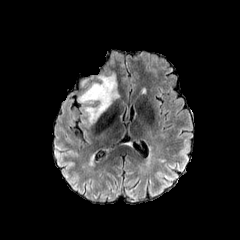
FLAIR MR image.
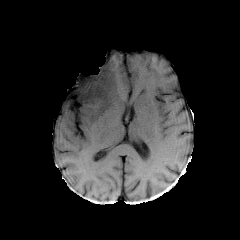
T1-weighted MR image.
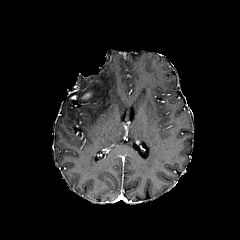
Post-contrast T1-weighted MRI.
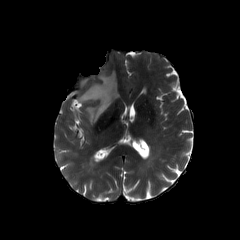
T2-weighted magnetic resonance.
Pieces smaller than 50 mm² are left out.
The enhancing tumor appears at 81 91 92 99. The largest peritumoral edema region is located at 78 73 118 123.